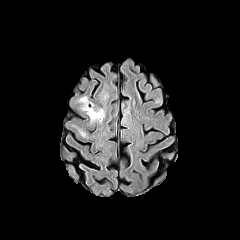
FLAIR MRI.
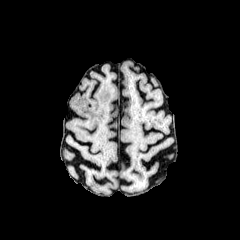
T1-weighted MR of the same slice.
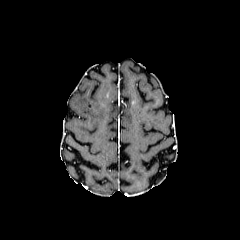
Post-contrast T1-weighted MRI.
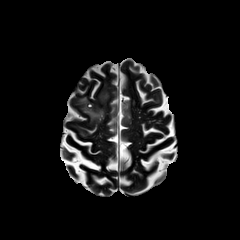
T2-weighted MR.
Head. Axial slice. 240x240 px.
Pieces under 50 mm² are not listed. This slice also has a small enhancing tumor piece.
The largest peritumoral edema region lies within left=79, top=96, right=104, bottom=122.